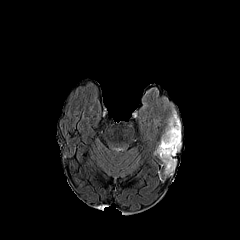
FLAIR MR.
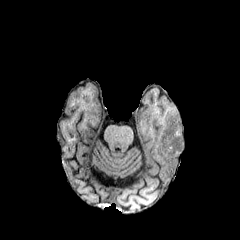
T1-weighted magnetic resonance.
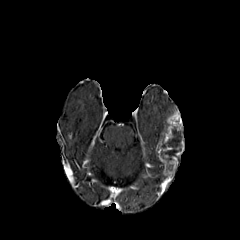
Post-contrast T1-weighted MRI of the same slice.
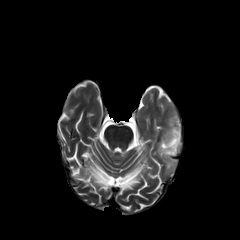
T2-weighted MR image.
Head
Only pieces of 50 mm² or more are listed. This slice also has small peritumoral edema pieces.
enhancing tumor: x1=156 y1=110 x2=184 y2=174 | necrotic tumor core: x1=161 y1=129 x2=181 y2=161